Brain | Slice 105/155
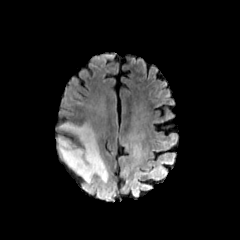
FLAIR MR image.
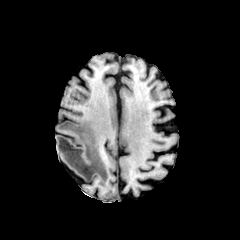
Same slice, T1-weighted MR.
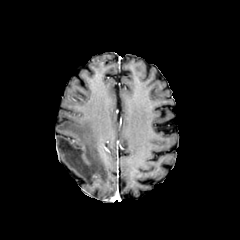
Same slice, post-contrast T1-weighted MR.
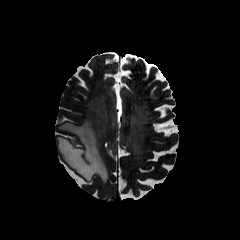
Same slice, T2-weighted MR.
peritumoral_edema:
  - [x1=57, y1=121, x2=108, y2=184]